Image covers 240 mm x 240 mm.
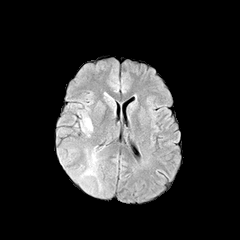
FLAIR magnetic resonance.
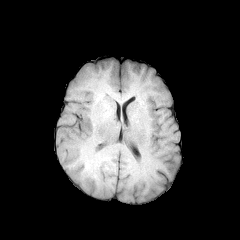
T1-weighted MR.
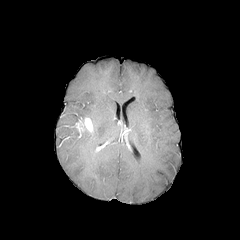
Post-contrast T1-weighted magnetic resonance.
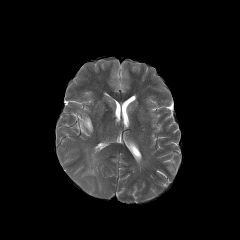
T2-weighted magnetic resonance.
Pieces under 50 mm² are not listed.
The 2 largest peritumoral edema regions appear at rect(80, 111, 89, 119); rect(80, 148, 101, 190). The enhancing tumor appears at rect(76, 118, 92, 132).